Brain, Axial plane
FLAIR magnetic resonance.
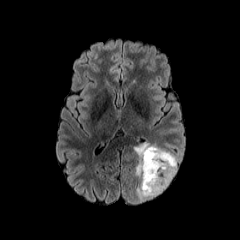
T1-weighted magnetic resonance.
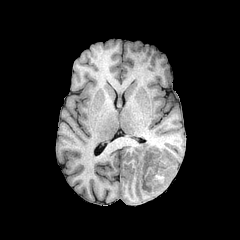
Post-contrast T1-weighted magnetic resonance.
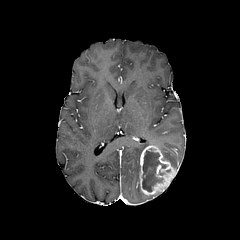
T2-weighted MR.
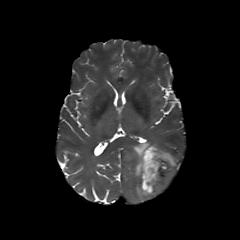
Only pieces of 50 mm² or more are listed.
2 peritumoral edema regions are located at [134,142,161,199], [159,148,177,170]. The largest enhancing tumor region is at [139,145,176,195]. The largest necrotic tumor core region is at [142,147,167,192].